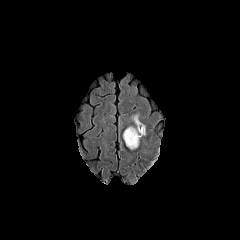
FLAIR magnetic resonance.
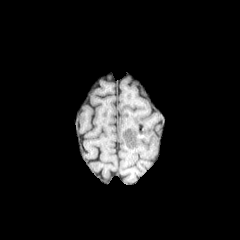
T1-weighted MR of the same slice.
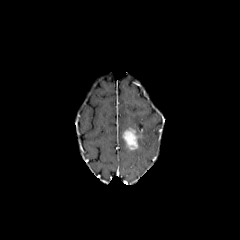
Post-contrast T1-weighted MRI of the same slice.
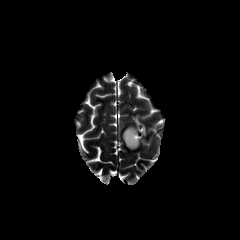
T2-weighted magnetic resonance.
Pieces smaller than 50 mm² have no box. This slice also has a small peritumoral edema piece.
Segmented structures:
- enhancing tumor: l=122, t=127, r=139, b=149